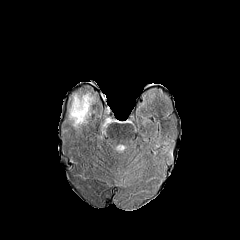
FLAIR magnetic resonance.
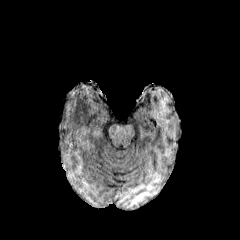
T1-weighted MR.
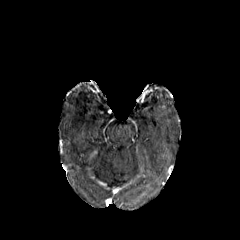
Post-contrast T1-weighted magnetic resonance.
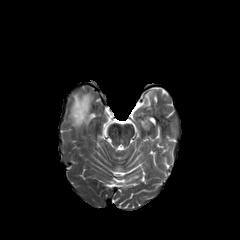
Same slice, T2-weighted MR image.
Image size 240x240.
Segmented structures:
• peritumoral edema: x1=71, y1=94, x2=91, y2=126